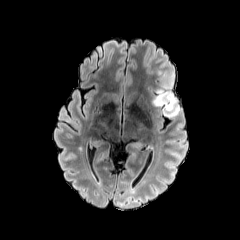
FLAIR MR image.
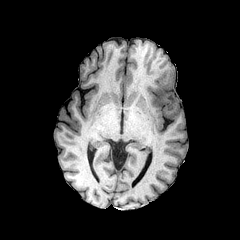
T1-weighted MR.
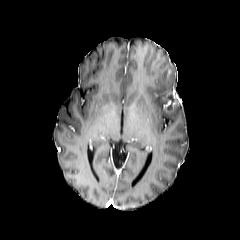
Same slice, post-contrast T1-weighted MR.
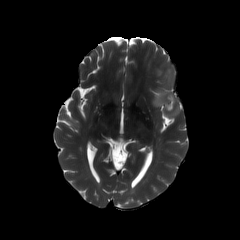
Same slice, T2-weighted magnetic resonance.
Axial plane
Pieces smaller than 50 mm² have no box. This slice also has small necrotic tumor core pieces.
peritumoral edema — {"x1": 152, "y1": 63, "x2": 180, "y2": 117}
enhancing tumor — {"x1": 165, "y1": 69, "x2": 172, "y2": 77}, {"x1": 172, "y1": 93, "x2": 177, "y2": 108}